Head
FLAIR MRI.
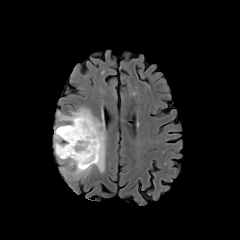
T1-weighted magnetic resonance.
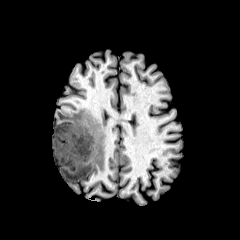
Post-contrast T1-weighted MR image.
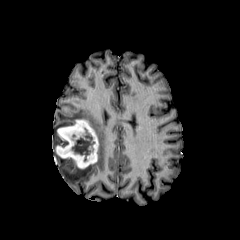
T2-weighted MRI.
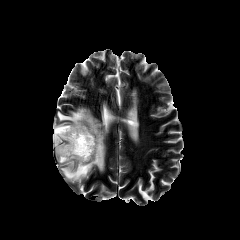
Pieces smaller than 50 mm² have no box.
The enhancing tumor lies within bbox=[56, 119, 98, 168]. The largest necrotic tumor core region is located at bbox=[72, 128, 94, 161]. The largest peritumoral edema region is at bbox=[53, 107, 106, 181].